FLAIR MR.
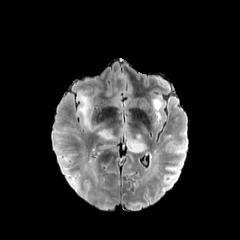
T1-weighted MRI.
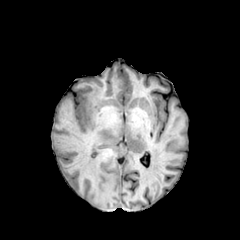
Post-contrast T1-weighted MRI.
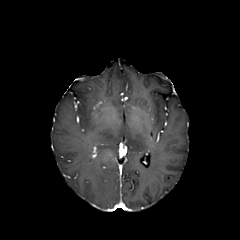
T2-weighted magnetic resonance.
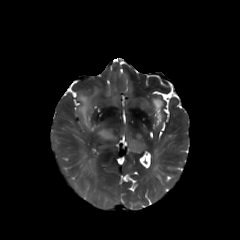
Brain; 240x240 px
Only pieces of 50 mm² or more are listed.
The 4 largest peritumoral edema regions are located at region(97, 129, 115, 139); region(153, 99, 162, 119); region(124, 127, 145, 152); region(77, 93, 98, 130).